Slice 78/155. 240x240 px.
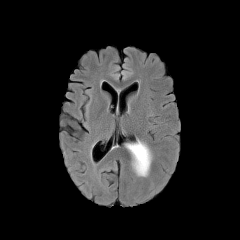
FLAIR magnetic resonance.
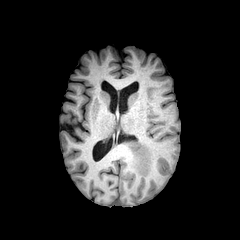
Same slice, T1-weighted MR image.
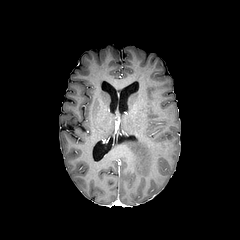
Post-contrast T1-weighted MRI.
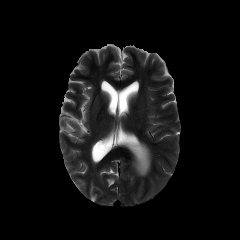
Same slice, T2-weighted MR image.
peritumoral edema — (left=126, top=140, right=151, bottom=176)